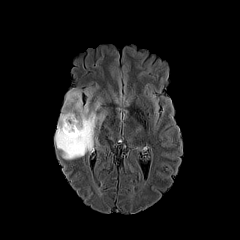
FLAIR MR.
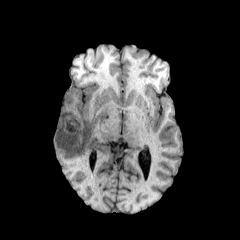
Same slice, T1-weighted MR image.
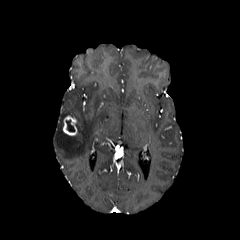
Post-contrast T1-weighted magnetic resonance of the same slice.
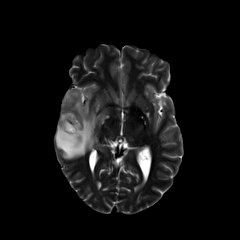
T2-weighted magnetic resonance.
Brain
necrotic_tumor_core:
  - [x1=66, y1=120, x2=74, y2=131]
enhancing_tumor:
  - [x1=63, y1=115, x2=77, y2=135]
peritumoral_edema:
  - [x1=55, y1=89, x2=105, y2=159]